FLAIR MR image.
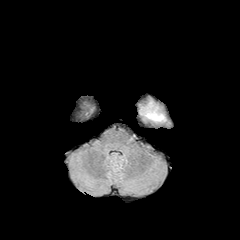
T1-weighted magnetic resonance.
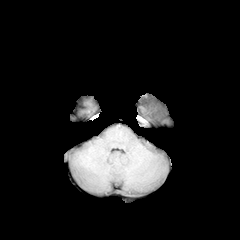
Post-contrast T1-weighted MR image.
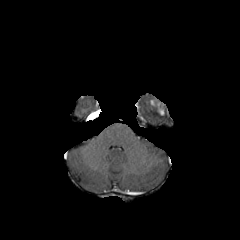
T2-weighted MR.
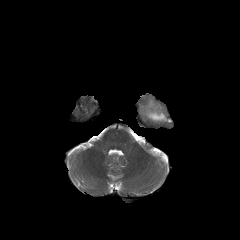
Axial slice
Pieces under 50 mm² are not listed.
necrotic_tumor_core:
  - 150 108 165 119
enhancing_tumor:
  - 147 98 165 115
peritumoral_edema:
  - 141 104 166 121